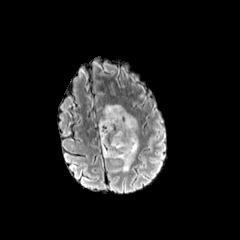
FLAIR MRI.
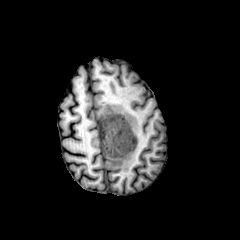
T1-weighted magnetic resonance.
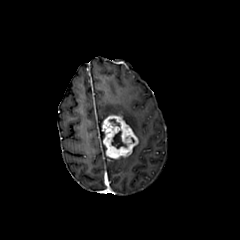
Post-contrast T1-weighted MRI.
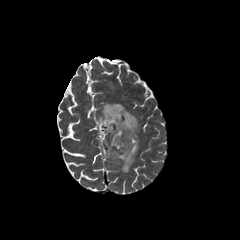
T2-weighted magnetic resonance.
Axial view
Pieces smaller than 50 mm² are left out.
The enhancing tumor is at x1=101, y1=114, x2=138, y2=158. The largest necrotic tumor core region appears at x1=111, y1=131, x2=126, y2=148. The peritumoral edema is at x1=99, y1=104, x2=139, y2=171.